Head.
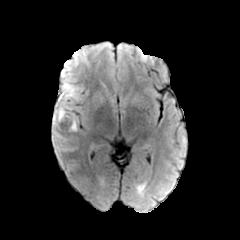
FLAIR MR.
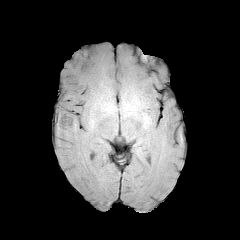
T1-weighted MR image.
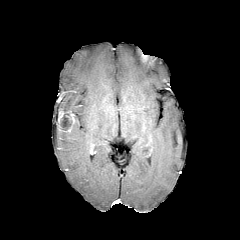
Post-contrast T1-weighted MR image.
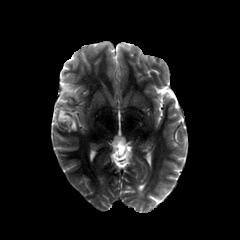
Same slice, T2-weighted magnetic resonance.
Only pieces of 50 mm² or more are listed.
The largest peritumoral edema region lies within {"x1": 52, "y1": 84, "x2": 82, "y2": 128}. The largest enhancing tumor region is bounded by {"x1": 57, "y1": 109, "x2": 75, "y2": 132}. The necrotic tumor core is located at {"x1": 60, "y1": 113, "x2": 71, "y2": 130}.